FLAIR MRI.
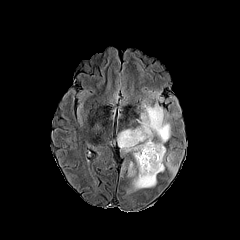
T1-weighted magnetic resonance.
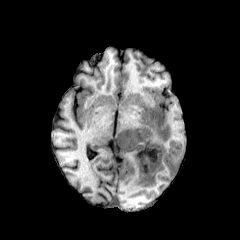
Post-contrast T1-weighted MRI.
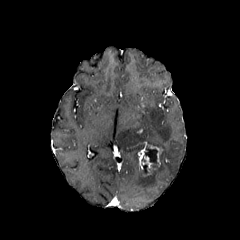
T2-weighted MR.
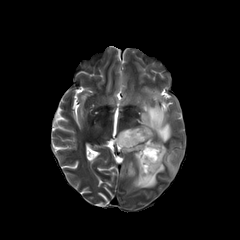
Head.
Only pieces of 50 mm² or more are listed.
2 peritumoral edema regions are located at region(117, 99, 178, 193); region(128, 162, 135, 176). The largest necrotic tumor core region lies within region(145, 147, 157, 162). The enhancing tumor is bounded by region(138, 143, 164, 176).